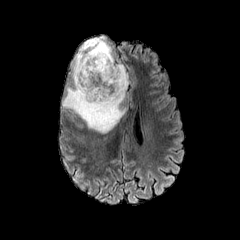
FLAIR magnetic resonance.
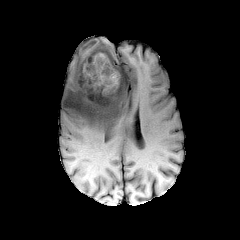
T1-weighted MR.
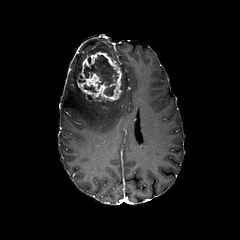
Post-contrast T1-weighted MRI of the same slice.
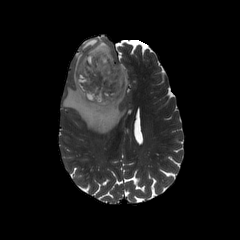
T2-weighted MR image.
240x240; Brain
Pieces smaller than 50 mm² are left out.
The peritumoral edema is located at <bbox>62, 35, 128, 133</bbox>. The 2 largest necrotic tumor core regions are located at <bbox>84, 85, 95, 92</bbox>, <bbox>84, 55, 118, 95</bbox>. The enhancing tumor is located at <bbox>77, 51, 122, 102</bbox>.